FLAIR MRI.
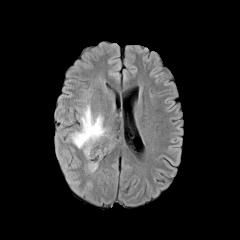
T1-weighted MR.
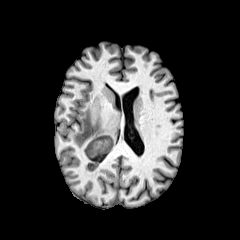
Post-contrast T1-weighted MR image.
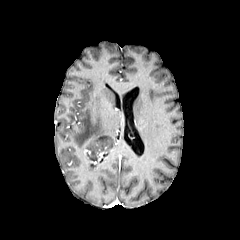
T2-weighted MRI.
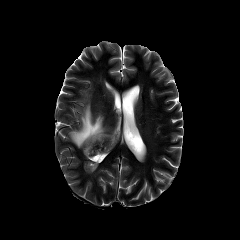
Axial view
peritumoral edema: [89,163,96,171], [70,105,112,158]